Image width 240 mm. Head. 240x240.
FLAIR MR image.
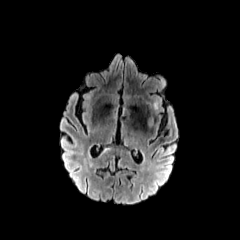
T1-weighted MR.
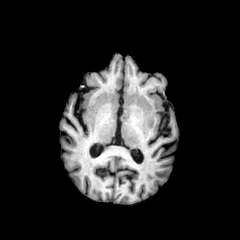
Post-contrast T1-weighted magnetic resonance.
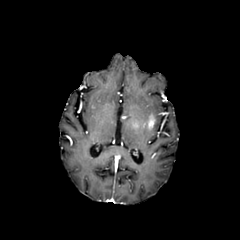
T2-weighted MR.
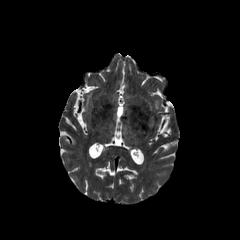
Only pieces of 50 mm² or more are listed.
The largest enhancing tumor region is bounded by (147,116,154,128).